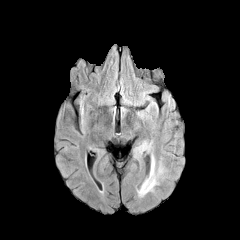
FLAIR MR image.
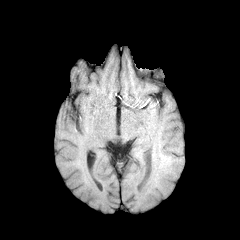
T1-weighted magnetic resonance.
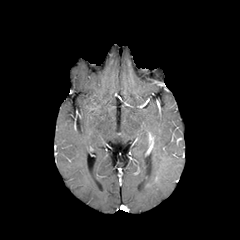
Post-contrast T1-weighted magnetic resonance.
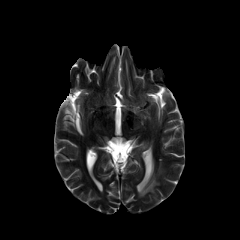
T2-weighted MR.
Image size 240x240 | Brain
The peritumoral edema is at <bbox>136, 141, 162, 196</bbox>.